FLAIR MRI.
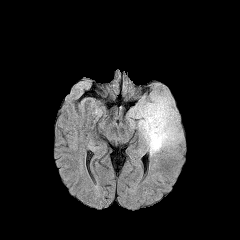
T1-weighted magnetic resonance.
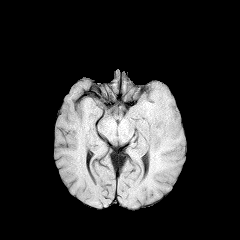
Post-contrast T1-weighted magnetic resonance.
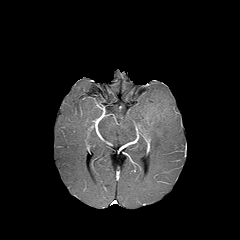
T2-weighted magnetic resonance.
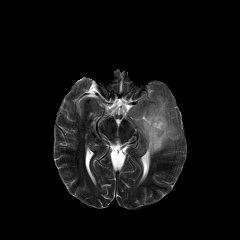
Brain | Axial slice
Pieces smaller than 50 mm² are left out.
peritumoral edema: x1=130, y1=94, x2=182, y2=155